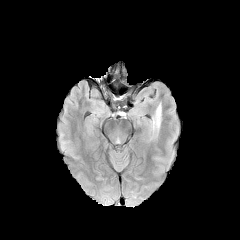
FLAIR magnetic resonance.
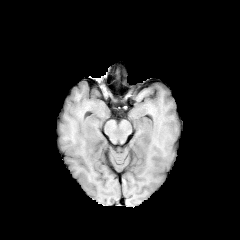
T1-weighted MR image.
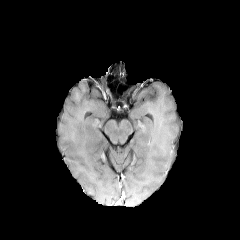
Post-contrast T1-weighted MR.
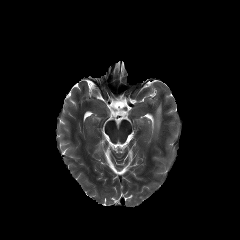
Same slice, T2-weighted MRI.
Axial view
Findings:
* peritumoral edema: (x1=149, y1=103, x2=161, y2=139)